Head | 240x240 px | Slice index 100
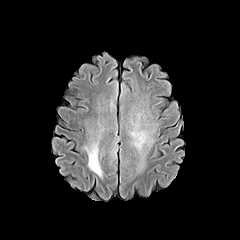
FLAIR magnetic resonance.
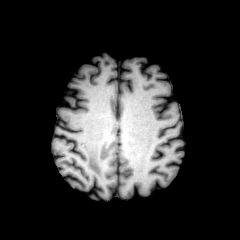
T1-weighted magnetic resonance of the same slice.
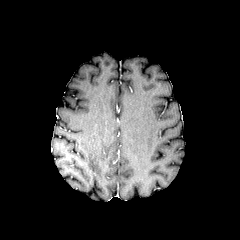
Same slice, post-contrast T1-weighted MRI.
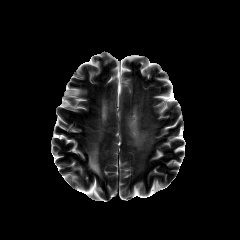
T2-weighted magnetic resonance of the same slice.
The peritumoral edema appears at 85:142:102:177.